FLAIR MR.
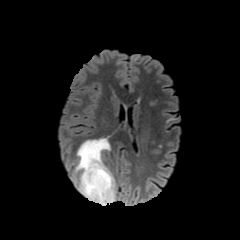
T1-weighted magnetic resonance.
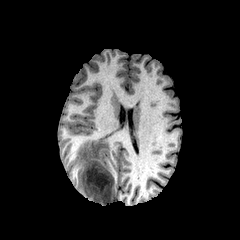
Post-contrast T1-weighted MRI.
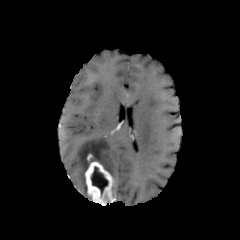
T2-weighted MR image.
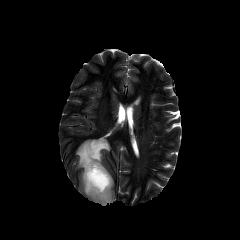
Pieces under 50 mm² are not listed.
The enhancing tumor is located at 85:154:115:205. The largest peritumoral edema region lies within 75:138:111:200. The necrotic tumor core appears at 91:167:108:195.